FLAIR magnetic resonance.
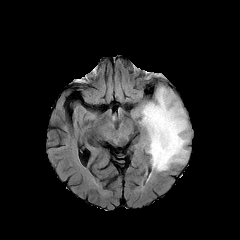
T1-weighted MR image.
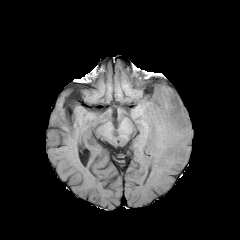
Post-contrast T1-weighted MR.
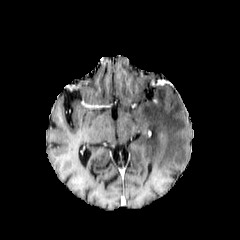
T2-weighted MR.
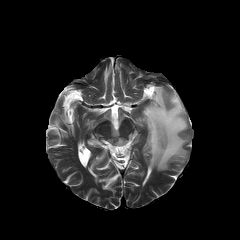
Head; Axial slice
{
  "peritumoral_edema": [
    "140 86 189 171"
  ]
}